Image width 240 mm, 1.00 mm slice spacing
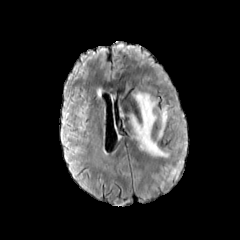
FLAIR MRI.
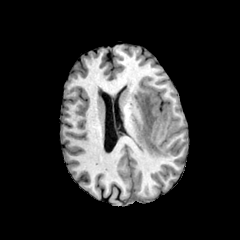
Same slice, T1-weighted MRI.
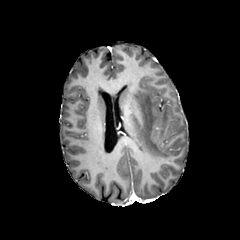
Post-contrast T1-weighted MRI.
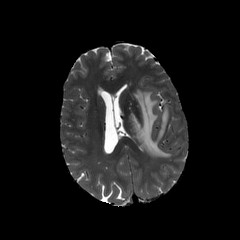
Same slice, T2-weighted MR.
<segmentation>
  <peritumoral_edema>box=[130, 90, 169, 157]</peritumoral_edema>
</segmentation>